Head. Slice index 55. Image size 240x240. Axial slice.
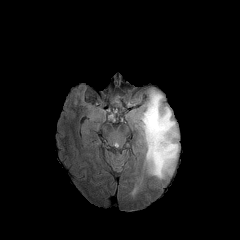
FLAIR MR.
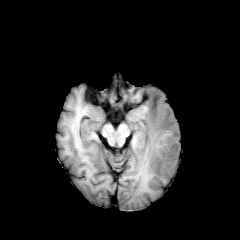
T1-weighted MR image.
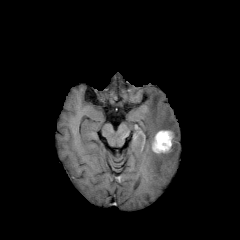
Post-contrast T1-weighted MRI.
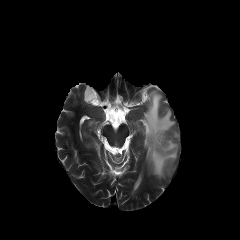
T2-weighted MR.
enhancing tumor: (left=152, top=130, right=173, bottom=153)
peritumoral edema: (left=140, top=90, right=178, bottom=178)